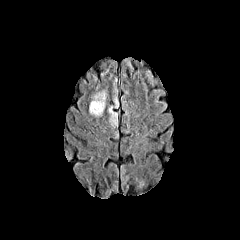
FLAIR MR image.
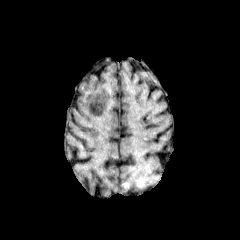
Same slice, T1-weighted MR.
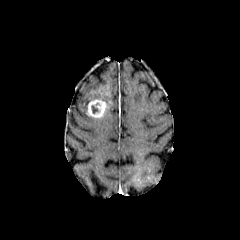
Same slice, post-contrast T1-weighted magnetic resonance.
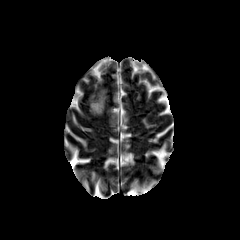
T2-weighted MR.
Axial view
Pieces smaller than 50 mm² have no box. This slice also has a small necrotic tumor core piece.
enhancing tumor: region(87, 98, 106, 117)
peritumoral edema: region(93, 90, 107, 101); region(108, 98, 118, 126)